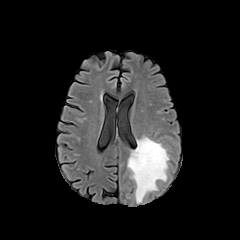
FLAIR MR image.
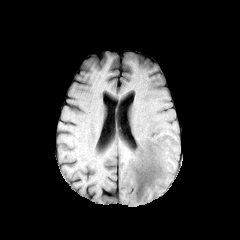
T1-weighted MR image.
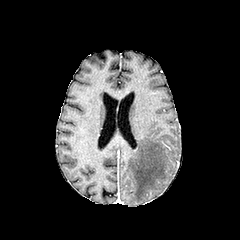
Same slice, post-contrast T1-weighted magnetic resonance.
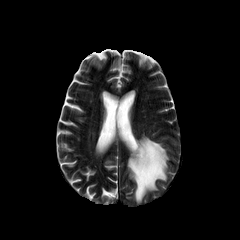
T2-weighted MR.
Head
Findings:
• peritumoral edema: bbox(127, 136, 169, 203)